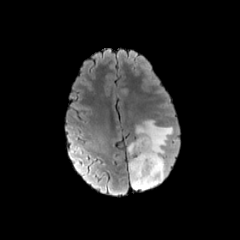
FLAIR MRI.
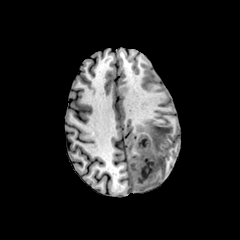
T1-weighted MRI of the same slice.
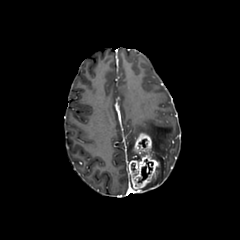
Post-contrast T1-weighted MRI.
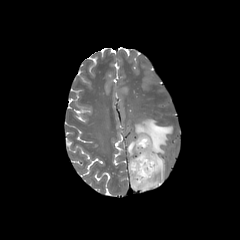
T2-weighted magnetic resonance.
Axial plane, Image size 240x240
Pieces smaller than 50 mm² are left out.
enhancing_tumor:
  - 128, 133, 159, 189
necrotic_tumor_core:
  - 137, 159, 153, 183
peritumoral_edema:
  - 135, 119, 172, 190
  - 128, 141, 135, 155